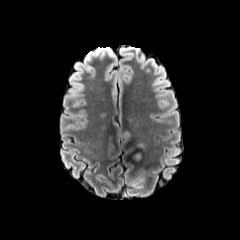
FLAIR MRI.
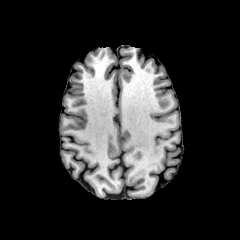
Same slice, T1-weighted MR image.
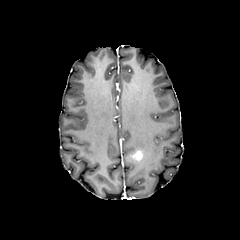
Post-contrast T1-weighted magnetic resonance of the same slice.
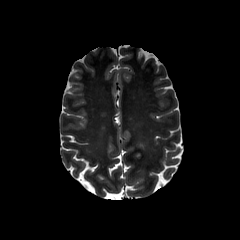
T2-weighted MR image.
Image size 240x240.
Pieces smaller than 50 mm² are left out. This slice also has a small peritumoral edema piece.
{
  "enhancing_tumor": [
    "(131, 150, 142, 161)"
  ]
}